Axial slice | Slice index 67 | 240x240
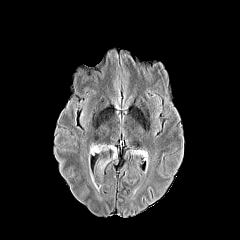
FLAIR magnetic resonance.
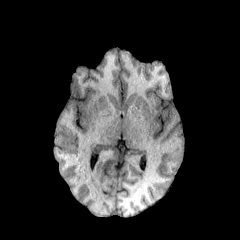
T1-weighted MRI of the same slice.
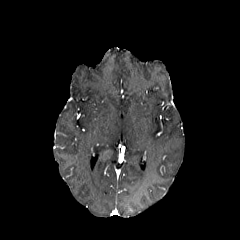
Same slice, post-contrast T1-weighted MR image.
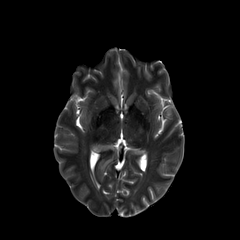
T2-weighted magnetic resonance.
peritumoral edema — 90 144 116 182, 90 172 99 191